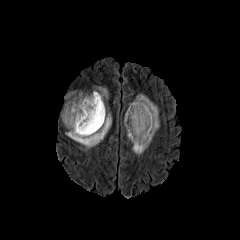
FLAIR magnetic resonance.
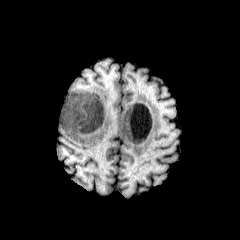
T1-weighted MR.
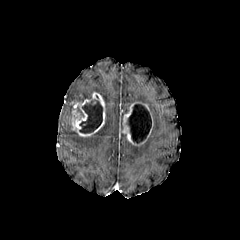
Post-contrast T1-weighted MRI.
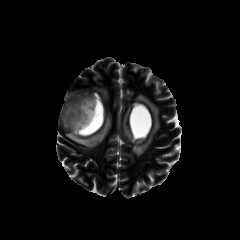
T2-weighted MR.
Axial slice
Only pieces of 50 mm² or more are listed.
<segmentation>
  <enhancing_tumor>(left=65, top=92, right=105, bottom=137), (left=122, top=102, right=153, bottom=146)</enhancing_tumor>
  <necrotic_tumor_core>(left=127, top=104, right=151, bottom=143), (left=79, top=100, right=102, bottom=133)</necrotic_tumor_core>
  <peritumoral_edema>(left=132, top=94, right=159, bottom=155), (left=93, top=87, right=107, bottom=98), (left=63, top=103, right=71, bottom=122), (left=66, top=113, right=111, bottom=148)</peritumoral_edema>
</segmentation>